Slice 78/155 | Image covers 240 mm x 240 mm
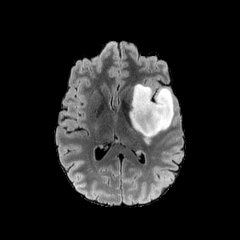
FLAIR MR.
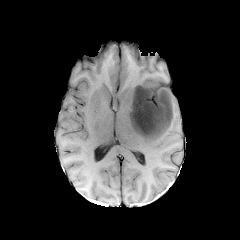
T1-weighted MR image.
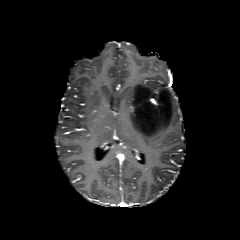
Same slice, post-contrast T1-weighted MR image.
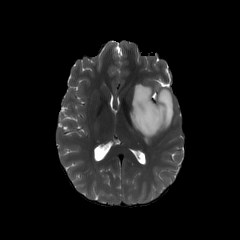
T2-weighted MR image of the same slice.
peritumoral edema at box(130, 84, 173, 143)